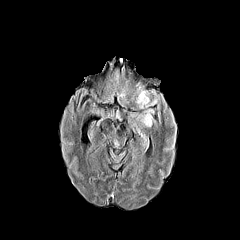
FLAIR MRI.
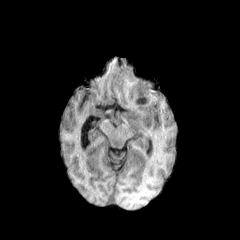
T1-weighted MR.
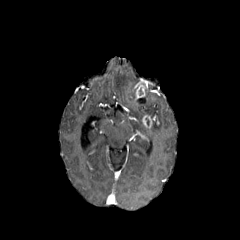
Post-contrast T1-weighted magnetic resonance of the same slice.
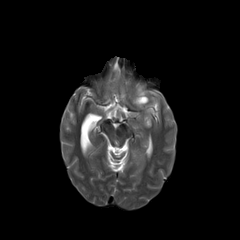
Same slice, T2-weighted MR image.
Axial slice | 240x240 px
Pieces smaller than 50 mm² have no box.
enhancing_tumor:
  - box(142, 115, 152, 127)
  - box(135, 82, 145, 98)
necrotic_tumor_core:
  - box(137, 97, 146, 103)
peritumoral_edema:
  - box(145, 109, 156, 123)
  - box(136, 91, 157, 109)
  - box(117, 87, 126, 100)
  - box(114, 69, 119, 83)